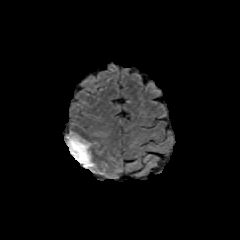
FLAIR MR image.
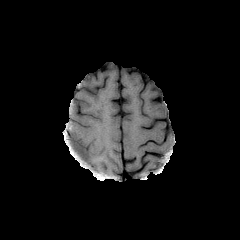
Same slice, T1-weighted magnetic resonance.
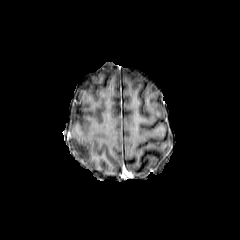
Post-contrast T1-weighted MR image of the same slice.
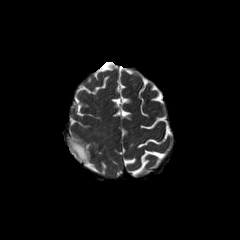
Same slice, T2-weighted MRI.
The peritumoral edema is located at x1=68 y1=132 x2=94 y2=168.